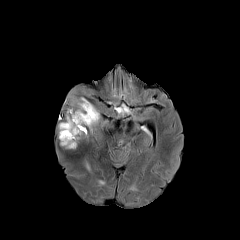
FLAIR magnetic resonance.
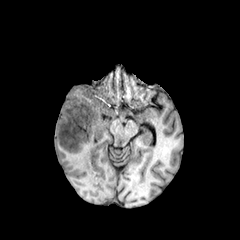
T1-weighted magnetic resonance.
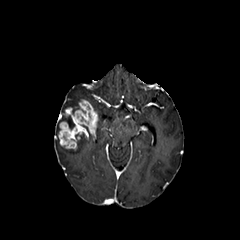
Post-contrast T1-weighted MR.
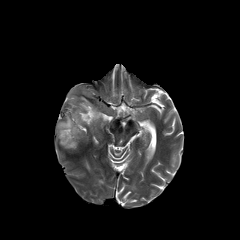
Same slice, T2-weighted magnetic resonance.
Brain.
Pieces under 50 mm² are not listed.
The largest enhancing tumor region is bounded by box=[58, 99, 98, 149]. The 2 largest peritumoral edema regions are located at box=[66, 116, 74, 128]; box=[68, 85, 92, 113].